Head, Slice 88 of 155
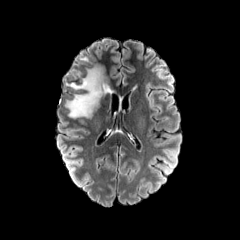
FLAIR MR image.
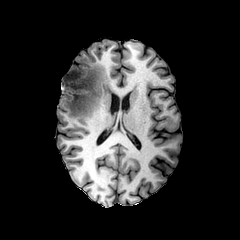
Same slice, T1-weighted MR.
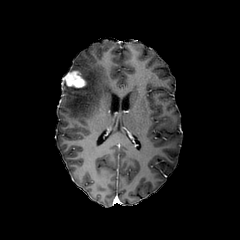
Post-contrast T1-weighted MR of the same slice.
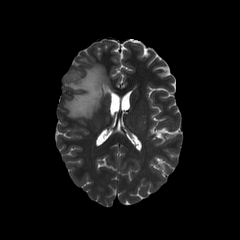
Same slice, T2-weighted MR image.
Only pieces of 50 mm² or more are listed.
enhancing tumor: region(63, 70, 86, 88)
peritumoral edema: region(65, 65, 107, 118)